FLAIR MRI.
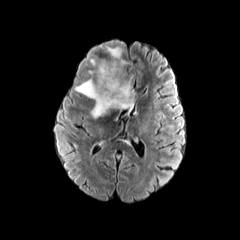
T1-weighted MRI.
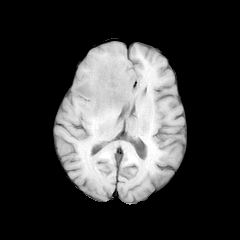
Post-contrast T1-weighted MR image.
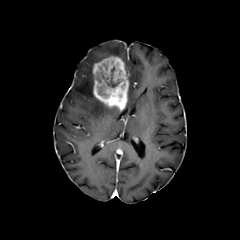
T2-weighted MR image.
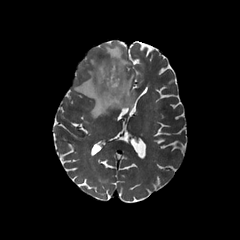
240x240 px
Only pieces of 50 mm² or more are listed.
Findings:
• necrotic tumor core: (97, 61, 125, 101)
• enhancing tumor: (93, 55, 129, 110)
• peritumoral edema: (119, 74, 135, 112), (105, 44, 123, 58), (74, 69, 110, 119)